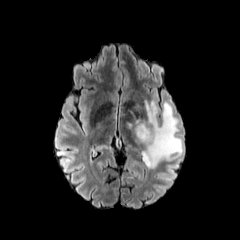
FLAIR MR image.
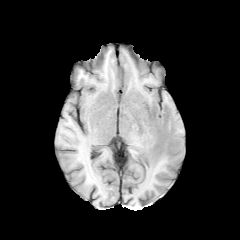
Same slice, T1-weighted MR.
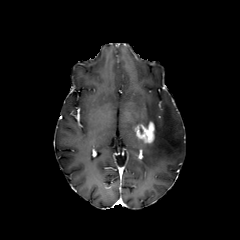
Post-contrast T1-weighted MR.
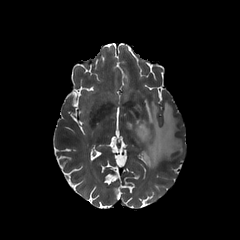
T2-weighted magnetic resonance.
Axial slice.
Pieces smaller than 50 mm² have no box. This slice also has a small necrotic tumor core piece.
The largest peritumoral edema region appears at x1=127, y1=100, x2=182, y2=168. The largest enhancing tumor region appears at x1=135, y1=122, x2=155, y2=145.